FLAIR MR.
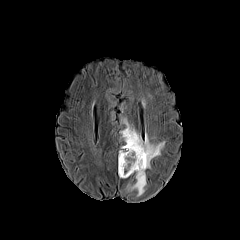
T1-weighted MR image.
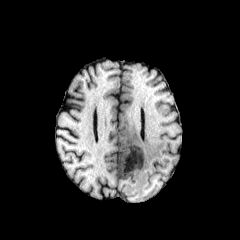
Post-contrast T1-weighted MR.
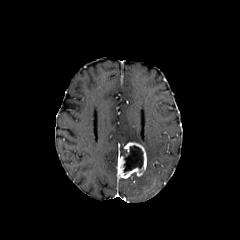
T2-weighted MRI.
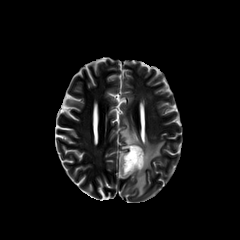
Head
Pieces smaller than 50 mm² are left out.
peritumoral edema: bounding box bbox=[121, 118, 164, 168]; bbox=[126, 171, 146, 196]
necrotic tumor core: bounding box bbox=[120, 145, 143, 174]
enhancing tumor: bounding box bbox=[118, 142, 146, 178]